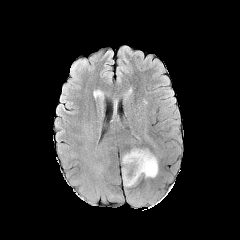
FLAIR MRI.
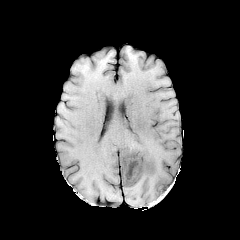
T1-weighted MR image.
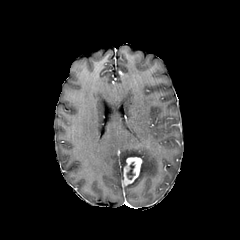
Post-contrast T1-weighted MRI.
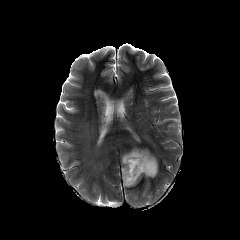
T2-weighted magnetic resonance of the same slice.
240x240 px | Axial view | Head
peritumoral edema at (122,148,158,186)
enhancing tumor at (123,157,142,185)
necrotic tumor core at (127,162,135,179)